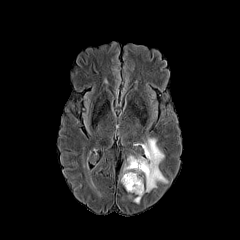
FLAIR MR image.
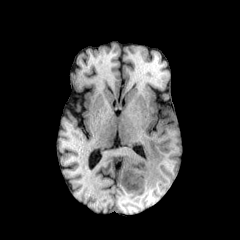
Same slice, T1-weighted magnetic resonance.
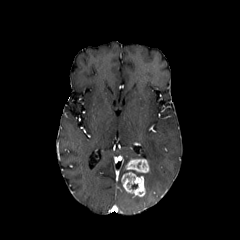
Post-contrast T1-weighted MRI.
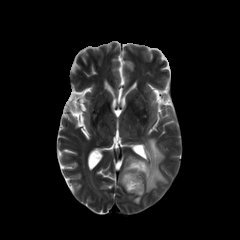
T2-weighted magnetic resonance of the same slice.
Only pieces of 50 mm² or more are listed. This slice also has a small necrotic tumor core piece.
enhancing tumor — [121, 158, 149, 196]
peritumoral edema — [142, 138, 167, 192]